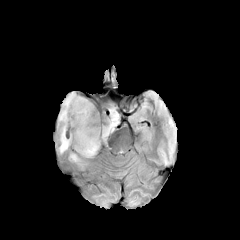
FLAIR MR.
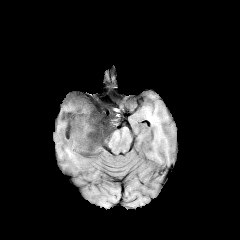
T1-weighted MR of the same slice.
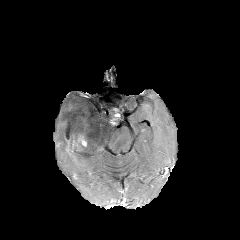
Post-contrast T1-weighted MRI of the same slice.
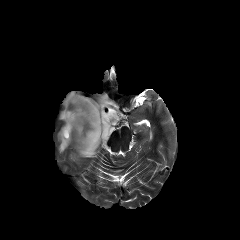
T2-weighted magnetic resonance.
Head
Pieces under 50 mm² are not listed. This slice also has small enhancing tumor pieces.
peritumoral_edema:
  - rect(69, 153, 80, 163)
  - rect(58, 92, 119, 157)
necrotic_tumor_core:
  - rect(66, 125, 70, 140)